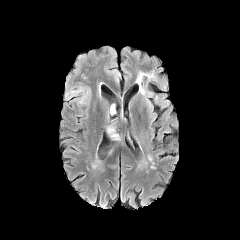
FLAIR MR.
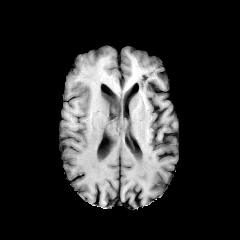
Same slice, T1-weighted MRI.
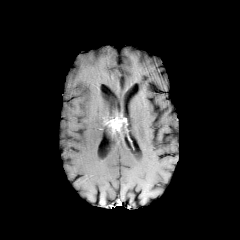
Post-contrast T1-weighted magnetic resonance of the same slice.
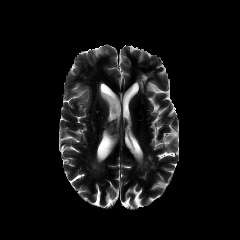
T2-weighted magnetic resonance.
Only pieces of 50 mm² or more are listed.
The 2 largest peritumoral edema regions are located at (72, 87, 88, 103), (107, 126, 119, 140). The largest enhancing tumor region is located at (107, 116, 125, 130).